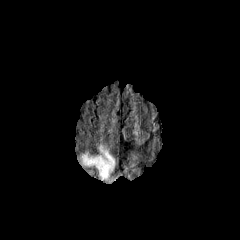
FLAIR MR image.
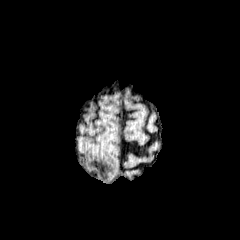
T1-weighted MR.
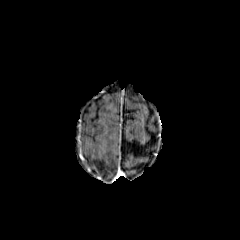
Post-contrast T1-weighted MR image.
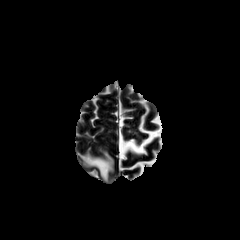
T2-weighted MRI.
Head
Findings:
- peritumoral edema: 84:146:114:179